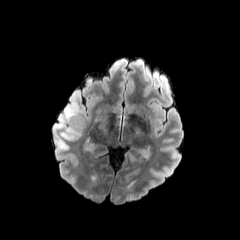
FLAIR MR.
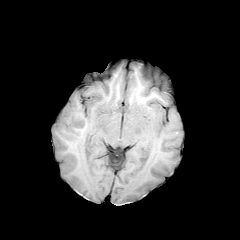
Same slice, T1-weighted MR image.
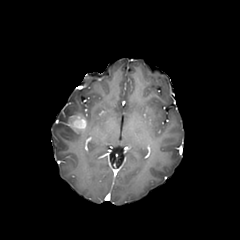
Same slice, post-contrast T1-weighted magnetic resonance.
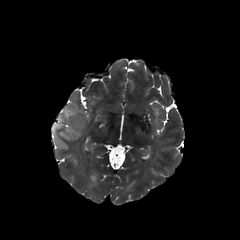
T2-weighted MRI.
240x240 px, Axial view
The enhancing tumor is bounded by rect(68, 113, 86, 133). The peritumoral edema is at rect(56, 103, 80, 140).